FLAIR MR.
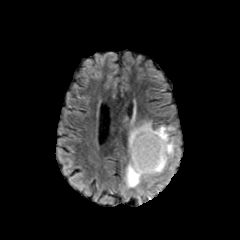
T1-weighted MRI.
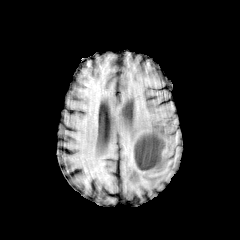
Post-contrast T1-weighted magnetic resonance.
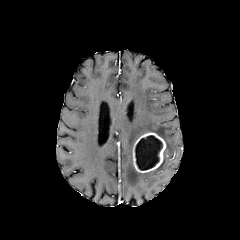
T2-weighted MRI.
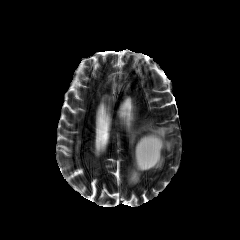
Image size 240x240; Head
* enhancing tumor: {"x1": 132, "y1": 132, "x2": 166, "y2": 172}
* necrotic tumor core: {"x1": 135, "y1": 135, "x2": 162, "y2": 170}
* peritumoral edema: {"x1": 126, "y1": 121, "x2": 174, "y2": 187}